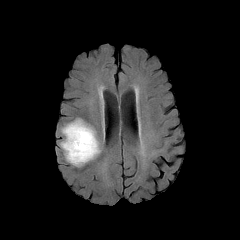
FLAIR MR image.
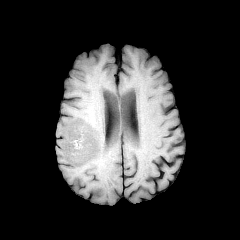
T1-weighted MRI.
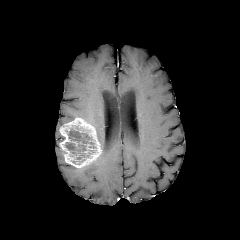
Post-contrast T1-weighted MR image.
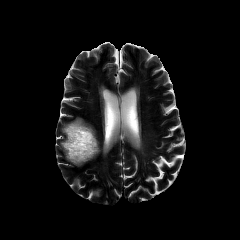
T2-weighted MR image of the same slice.
Head | 240x240 px | Axial slice
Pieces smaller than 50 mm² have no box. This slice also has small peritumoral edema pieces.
{"necrotic_tumor_core": ["(left=65, top=128, right=95, bottom=161)"], "enhancing_tumor": ["(left=59, top=117, right=101, bottom=168)"]}